FLAIR magnetic resonance.
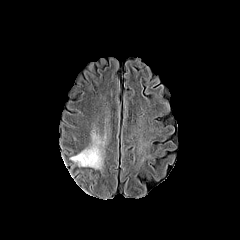
T1-weighted MRI.
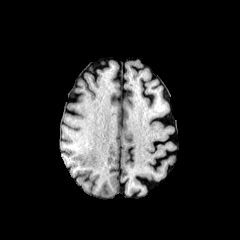
Post-contrast T1-weighted magnetic resonance.
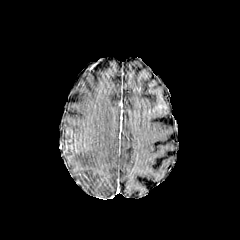
T2-weighted MRI.
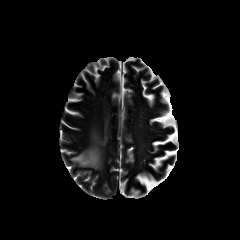
Axial slice. Head.
The peritumoral edema is bounded by <bbox>71, 131, 101, 168</bbox>.